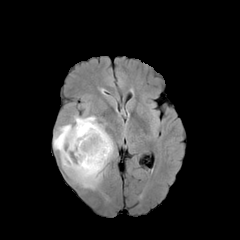
FLAIR MR image.
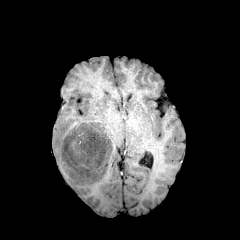
T1-weighted MR of the same slice.
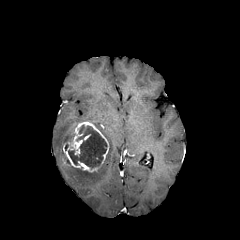
Post-contrast T1-weighted MR image.
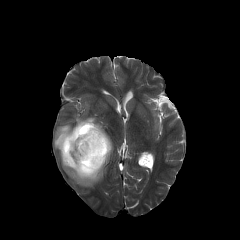
Same slice, T2-weighted magnetic resonance.
Axial plane
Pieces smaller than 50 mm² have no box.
<segmentation>
  <enhancing_tumor>63:121:109:172</enhancing_tumor>
  <necrotic_tumor_core>68:125:107:168</necrotic_tumor_core>
  <peritumoral_edema>53:116:113:188</peritumoral_edema>
</segmentation>